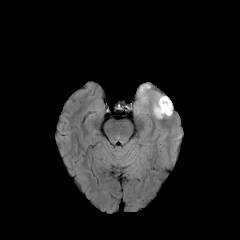
FLAIR MRI.
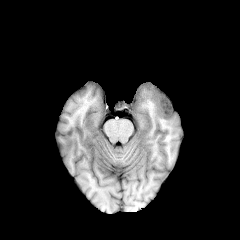
Same slice, T1-weighted MR.
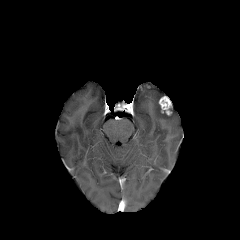
Post-contrast T1-weighted magnetic resonance.
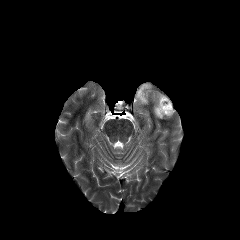
T2-weighted MR image.
Axial slice. Brain.
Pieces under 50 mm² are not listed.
peritumoral edema — 134:83:172:118
enhancing tumor — 159:96:172:115